Axial plane. Slice index 107.
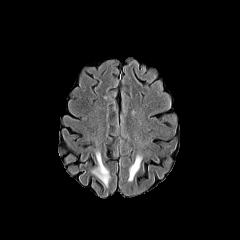
FLAIR MR image.
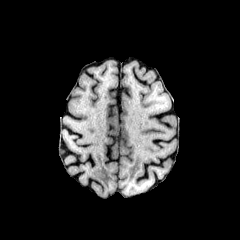
T1-weighted magnetic resonance of the same slice.
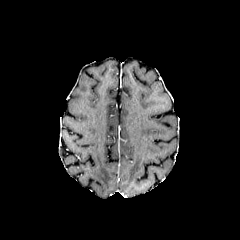
Post-contrast T1-weighted MR image of the same slice.
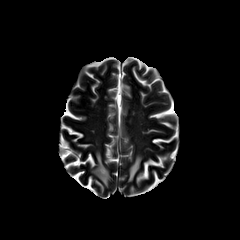
T2-weighted MR image.
2 peritumoral edema regions are located at [92,151,110,186], [128,155,141,181].